FLAIR MRI.
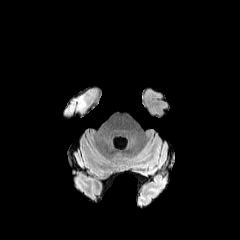
T1-weighted magnetic resonance.
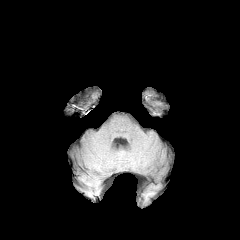
Post-contrast T1-weighted MRI.
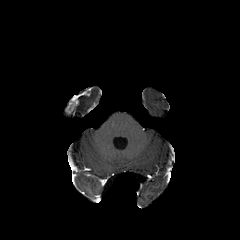
T2-weighted magnetic resonance.
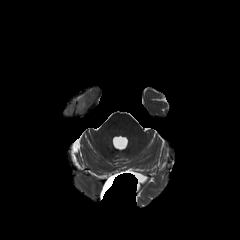
Brain. Axial view.
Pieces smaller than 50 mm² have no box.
enhancing tumor: [66, 95, 80, 113] | peritumoral edema: [76, 95, 88, 110]